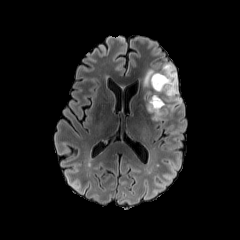
FLAIR magnetic resonance.
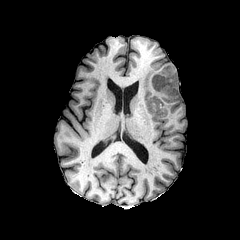
T1-weighted MR.
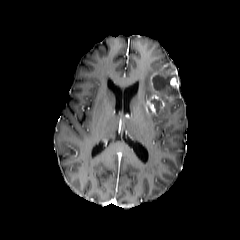
Same slice, post-contrast T1-weighted magnetic resonance.
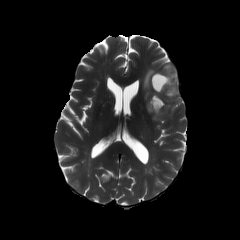
T2-weighted MR image of the same slice.
Axial view.
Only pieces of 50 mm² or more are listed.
<segmentation>
  <enhancing_tumor><bbox>146, 64, 179, 115</bbox></enhancing_tumor>
  <necrotic_tumor_core><bbox>151, 98, 161, 109</bbox>, <bbox>152, 65, 177, 94</bbox></necrotic_tumor_core>
  <peritumoral_edema><bbox>143, 68, 160, 101</bbox>, <bbox>151, 94, 181, 120</bbox></peritumoral_edema>
</segmentation>